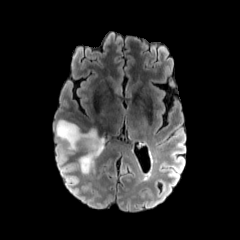
FLAIR MRI.
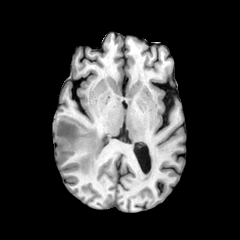
T1-weighted MR image of the same slice.
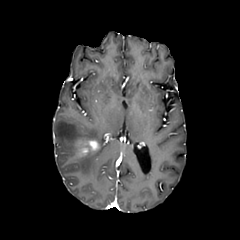
Post-contrast T1-weighted magnetic resonance.
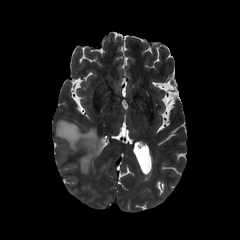
T2-weighted magnetic resonance.
Brain
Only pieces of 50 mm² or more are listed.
Findings:
* enhancing tumor: left=79, top=140, right=98, bottom=150
* peritumoral edema: left=55, top=119, right=104, bottom=173